FLAIR MRI.
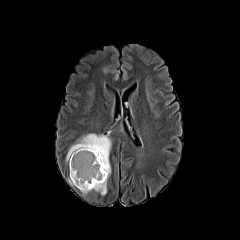
T1-weighted magnetic resonance.
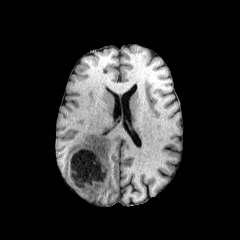
Post-contrast T1-weighted MRI.
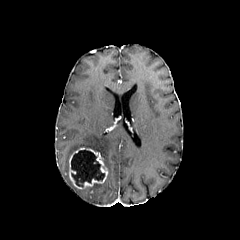
T2-weighted MR image.
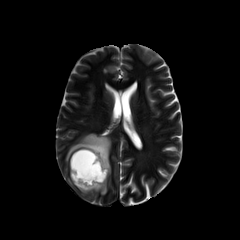
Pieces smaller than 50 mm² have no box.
Segmented structures:
- peritumoral edema: box(66, 132, 111, 195)
- necrotic tumor core: box(71, 150, 104, 186)
- enhancing tumor: box(69, 147, 108, 189)